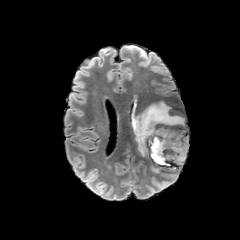
FLAIR MRI.
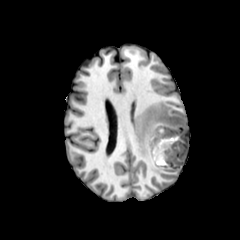
Same slice, T1-weighted MR.
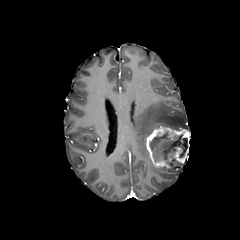
Same slice, post-contrast T1-weighted MR.
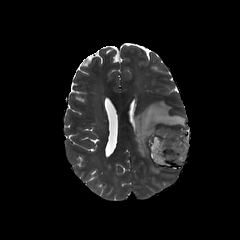
T2-weighted magnetic resonance.
Head; Axial plane
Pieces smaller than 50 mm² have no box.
The largest enhancing tumor region is at [x1=146, y1=125, x2=189, y2=167]. The 2 largest peritumoral edema regions appear at [x1=130, y1=100, x2=188, y2=156], [x1=150, y1=164, x2=162, y2=172]. The largest necrotic tumor core region is located at [x1=149, y1=132, x2=187, y2=165].